FLAIR MR image.
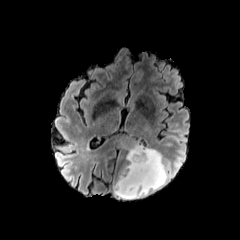
T1-weighted MRI.
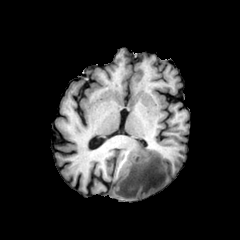
Post-contrast T1-weighted magnetic resonance.
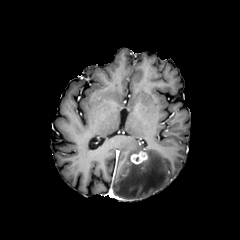
T2-weighted magnetic resonance.
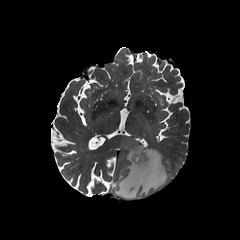
Axial slice.
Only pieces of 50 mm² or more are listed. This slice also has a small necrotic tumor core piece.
{
  "enhancing_tumor": [
    "l=130, t=151, r=147, b=164"
  ],
  "peritumoral_edema": [
    "l=113, t=145, r=169, b=199"
  ]
}